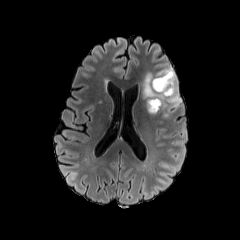
FLAIR MR.
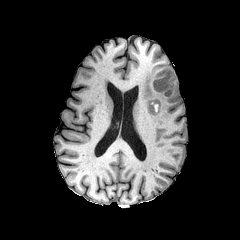
T1-weighted magnetic resonance.
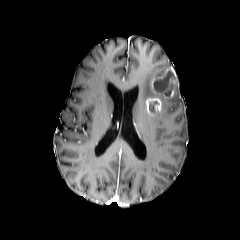
Same slice, post-contrast T1-weighted MR image.
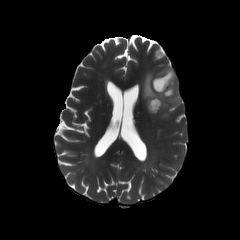
Same slice, T2-weighted MRI.
Brain, 240x240
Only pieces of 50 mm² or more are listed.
Segmented structures:
- enhancing tumor: bbox=[146, 97, 161, 115]; bbox=[151, 67, 176, 98]
- peritumoral edema: bbox=[142, 64, 181, 123]
- necrotic tumor core: bbox=[154, 71, 173, 92]; bbox=[149, 101, 158, 112]